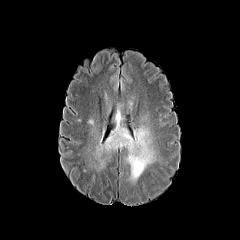
FLAIR MR image.
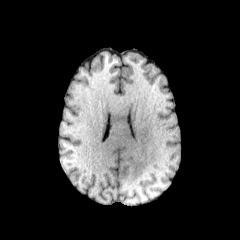
Same slice, T1-weighted magnetic resonance.
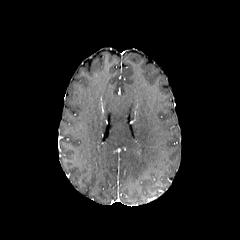
Post-contrast T1-weighted magnetic resonance.
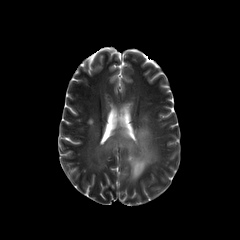
Same slice, T2-weighted MR.
Axial plane
2 peritumoral edema regions are bounded by [103, 89, 112, 115], [86, 93, 161, 185].